FLAIR magnetic resonance.
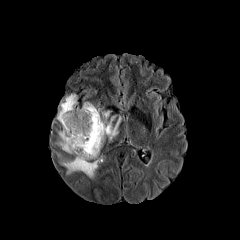
T1-weighted MR.
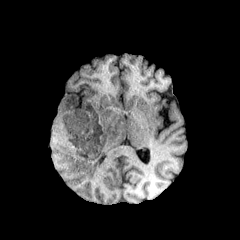
Post-contrast T1-weighted magnetic resonance.
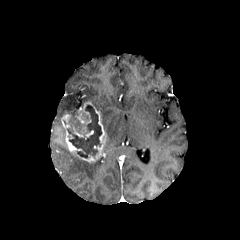
T2-weighted MR.
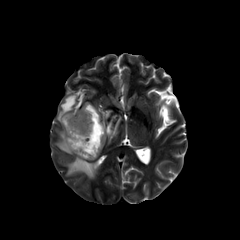
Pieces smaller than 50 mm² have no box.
necrotic_tumor_core:
  - <box>67,105,101,158</box>
peritumoral_edema:
  - <box>98,108,121,141</box>
  - <box>57,94,77,123</box>
  - <box>57,128,71,153</box>
  - <box>62,156,101,178</box>
enhancing_tumor:
  - <box>61,102,106,162</box>